Brain. Image width 240 mm, 1.00 mm slice spacing.
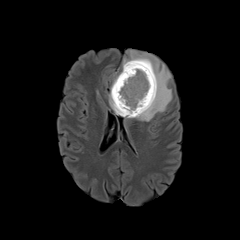
FLAIR MR image.
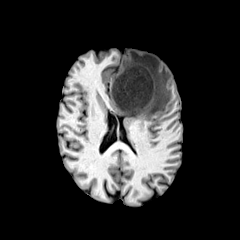
T1-weighted MR.
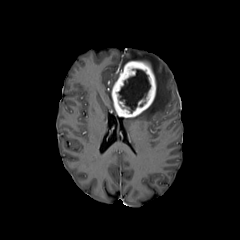
Post-contrast T1-weighted magnetic resonance of the same slice.
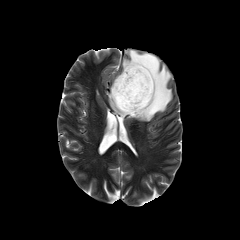
T2-weighted MRI of the same slice.
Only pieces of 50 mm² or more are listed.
The largest necrotic tumor core region appears at [x1=118, y1=69, x2=150, y2=113]. The 2 largest peritumoral edema regions are bounded by [x1=108, y1=93, x2=116, y2=113], [x1=122, y1=50, x2=172, y2=121]. The enhancing tumor is located at [x1=111, y1=61, x2=156, y2=117].